Slice index 129
FLAIR MRI.
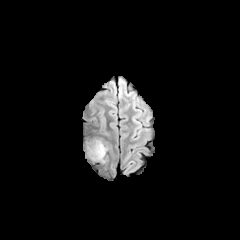
T1-weighted MRI.
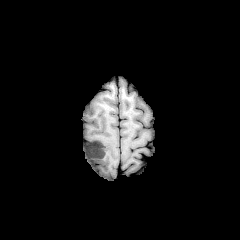
Post-contrast T1-weighted MRI.
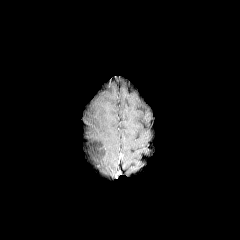
T2-weighted MRI.
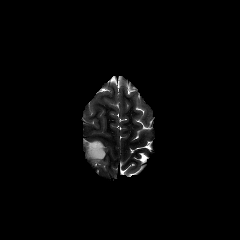
* peritumoral edema: box=[86, 140, 107, 160]